FLAIR MR.
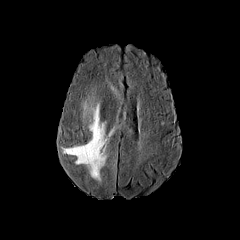
T1-weighted MR image.
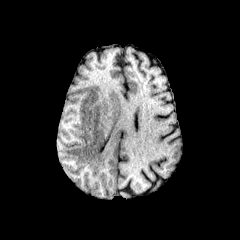
Post-contrast T1-weighted MRI.
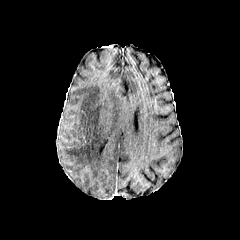
T2-weighted MRI.
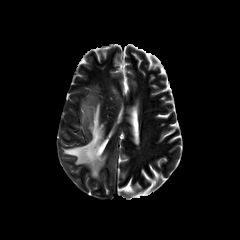
Axial slice. Brain. Image size 240x240.
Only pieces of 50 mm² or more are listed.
peritumoral edema: box=[62, 96, 107, 180]